FLAIR MR.
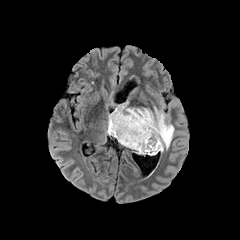
T1-weighted MRI.
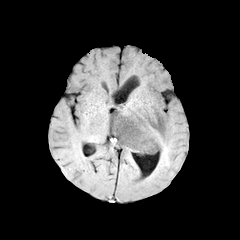
Post-contrast T1-weighted MR image.
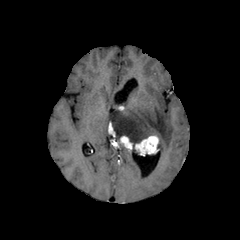
T2-weighted magnetic resonance.
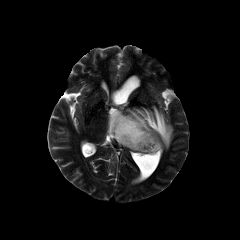
Axial view. Head. 240x240 px.
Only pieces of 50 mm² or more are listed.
enhancing_tumor:
  - box=[119, 135, 132, 149]
  - box=[135, 135, 158, 155]
  - box=[108, 122, 116, 136]
peritumoral_edema:
  - box=[108, 101, 173, 152]